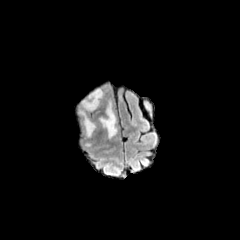
FLAIR MRI.
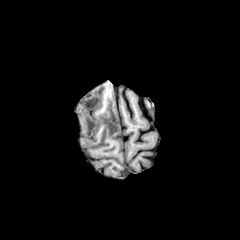
T1-weighted magnetic resonance of the same slice.
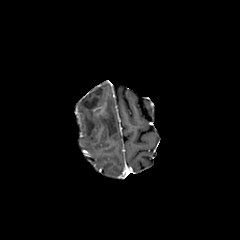
Post-contrast T1-weighted MR image.
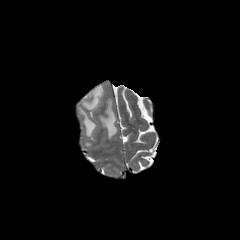
T2-weighted MR image.
Brain
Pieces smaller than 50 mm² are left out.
{
  "peritumoral_edema": [
    "rect(80, 109, 95, 136)",
    "rect(99, 101, 117, 138)",
    "rect(82, 89, 102, 110)"
  ]
}